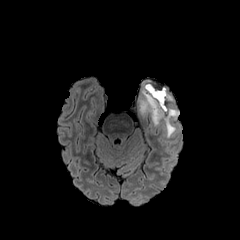
FLAIR magnetic resonance.
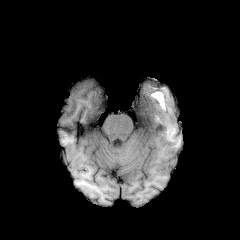
T1-weighted MRI of the same slice.
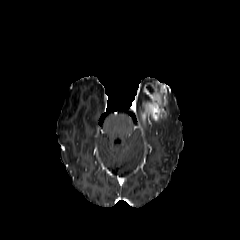
Post-contrast T1-weighted MR.
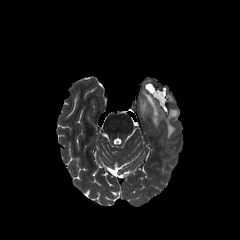
Same slice, T2-weighted MRI.
Head.
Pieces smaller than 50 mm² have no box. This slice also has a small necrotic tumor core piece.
peritumoral edema — (x1=163, y1=107, x2=179, y2=137)
enhancing tumor — (x1=139, y1=81, x2=167, y2=126)